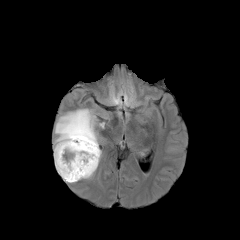
FLAIR MRI.
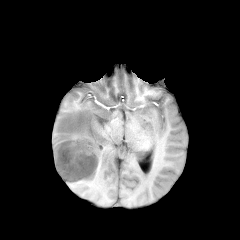
Same slice, T1-weighted MR image.
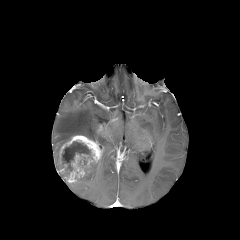
Post-contrast T1-weighted MR image of the same slice.
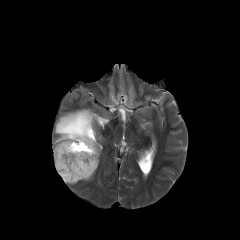
T2-weighted MRI.
Brain. Image size 240x240.
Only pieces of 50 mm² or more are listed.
Annotated regions:
* necrotic tumor core: <bbox>62, 142, 90, 170</bbox>
* peritumoral edema: <bbox>54, 108, 99, 173</bbox>, <bbox>78, 160, 99, 181</bbox>
* enhancing tumor: <bbox>56, 135, 101, 181</bbox>